Axial slice | Head | 240x240 px | Image width 240 mm
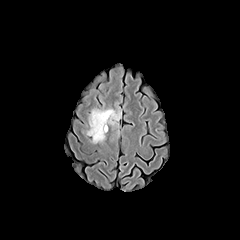
FLAIR MRI.
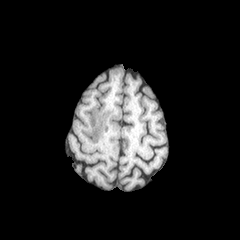
Same slice, T1-weighted MR image.
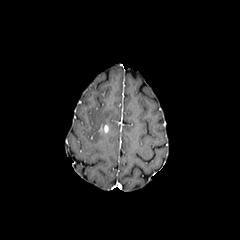
Same slice, post-contrast T1-weighted MR image.
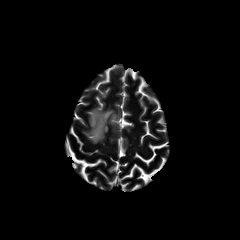
T2-weighted MRI.
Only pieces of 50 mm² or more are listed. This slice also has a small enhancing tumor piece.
The peritumoral edema is at 87,109,121,143.